Image width 240 mm; Slice 112/155; 240x240; Head; Axial view
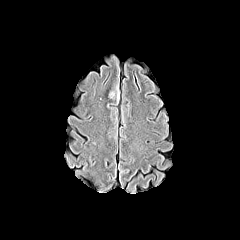
FLAIR MRI.
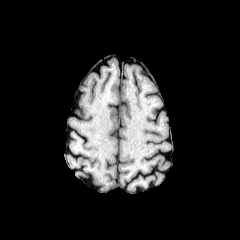
T1-weighted MR image.
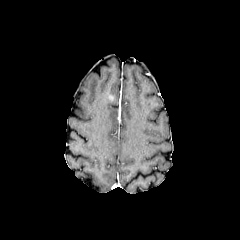
Post-contrast T1-weighted MR of the same slice.
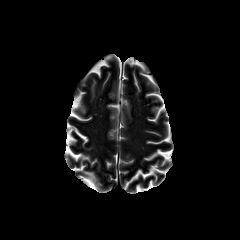
T2-weighted MRI of the same slice.
Findings:
• peritumoral edema: 108,83,117,99